Slice 109/155; Head; Axial slice; 240x240 px
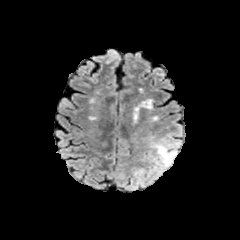
FLAIR MR.
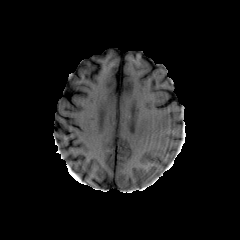
Same slice, T1-weighted magnetic resonance.
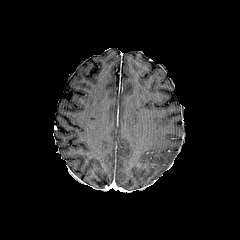
Post-contrast T1-weighted magnetic resonance of the same slice.
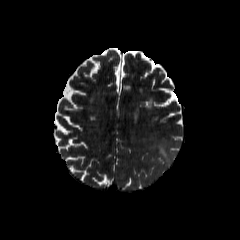
Same slice, T2-weighted MR.
The peritumoral edema lies within rect(151, 142, 177, 166).